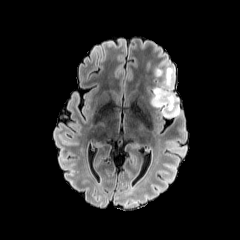
FLAIR MR image.
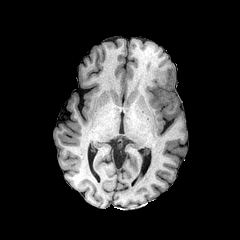
T1-weighted MRI.
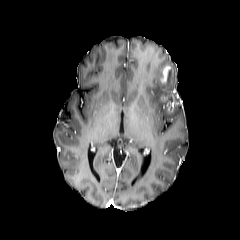
Post-contrast T1-weighted magnetic resonance.
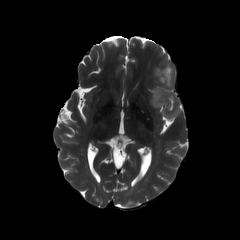
T2-weighted MRI of the same slice.
240x240 px | Axial plane | Head
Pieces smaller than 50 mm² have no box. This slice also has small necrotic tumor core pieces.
2 peritumoral edema regions are located at [150,66,180,118], [162,61,176,84]. 2 enhancing tumor regions appear at [161,94,177,111], [162,66,174,84].